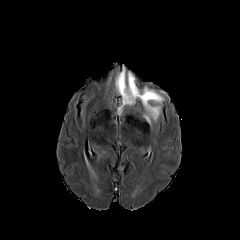
FLAIR MR image.
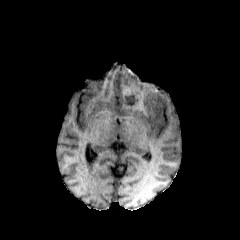
Same slice, T1-weighted MR.
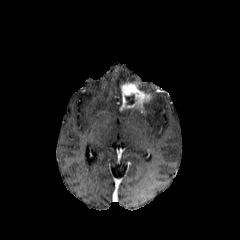
Post-contrast T1-weighted MR of the same slice.
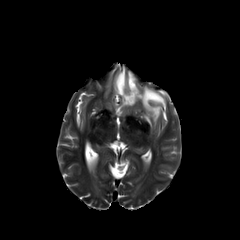
T2-weighted MRI of the same slice.
Head
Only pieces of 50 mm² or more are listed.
<segmentation>
  <necrotic_tumor_core>bbox=[125, 95, 134, 104]</necrotic_tumor_core>
  <peritumoral_edema>bbox=[141, 87, 164, 124]; bbox=[115, 66, 134, 95]</peritumoral_edema>
  <enhancing_tumor>bbox=[119, 81, 152, 110]</enhancing_tumor>
</segmentation>